Axial slice | Head | Slice 119/155
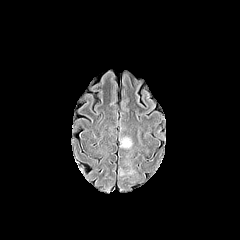
FLAIR MRI.
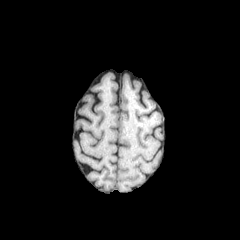
T1-weighted MRI of the same slice.
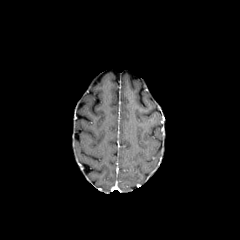
Post-contrast T1-weighted MR image.
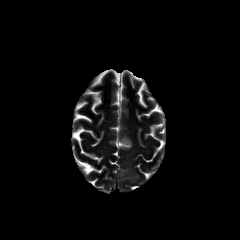
T2-weighted MR image.
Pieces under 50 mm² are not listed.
The largest peritumoral edema region is bounded by rect(120, 137, 132, 148).